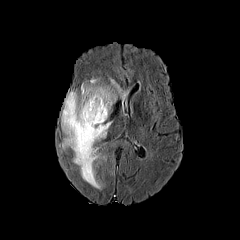
FLAIR MR image.
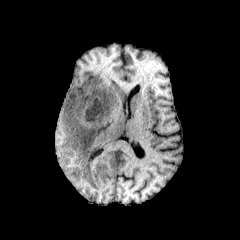
Same slice, T1-weighted MR.
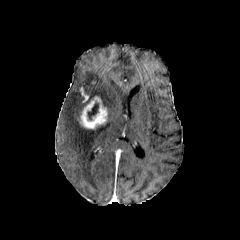
Post-contrast T1-weighted MR image.
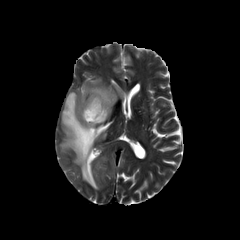
Same slice, T2-weighted MRI.
Image size 240x240, Brain, Axial plane
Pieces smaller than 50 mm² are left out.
Findings:
* necrotic tumor core: bbox(87, 103, 98, 119)
* enhancing tumor: bbox(79, 96, 107, 129)
* peritumoral edema: bbox(61, 78, 128, 189)